FLAIR MR image.
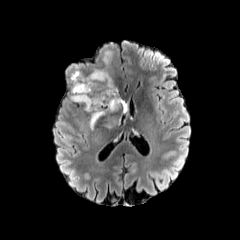
T1-weighted MR image.
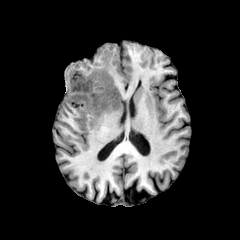
Post-contrast T1-weighted MR.
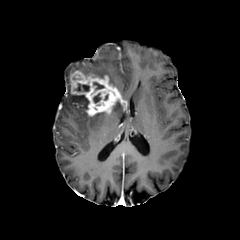
T2-weighted magnetic resonance.
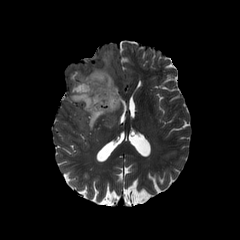
Brain. 240x240 px.
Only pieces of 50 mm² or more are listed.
necrotic tumor core: 93,82,104,89; 93,93,101,102; 76,84,89,91
enhancing tumor: 70,71,126,116
peritumoral edema: 89,112,119,129; 91,51,114,85; 70,94,87,110